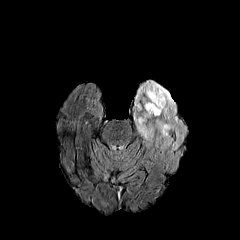
FLAIR MR image.
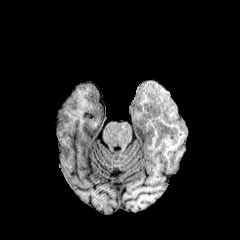
T1-weighted magnetic resonance.
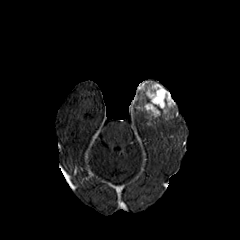
Post-contrast T1-weighted MR image.
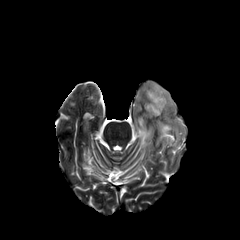
T2-weighted MRI.
Image size 240x240. Head.
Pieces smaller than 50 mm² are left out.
<segmentation>
  <peritumoral_edema>{"x1": 134, "y1": 108, "x2": 185, "y2": 147}</peritumoral_edema>
  <enhancing_tumor>{"x1": 134, "y1": 81, "x2": 176, "y2": 119}</enhancing_tumor>
</segmentation>